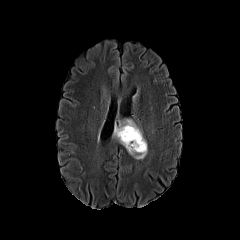
FLAIR magnetic resonance.
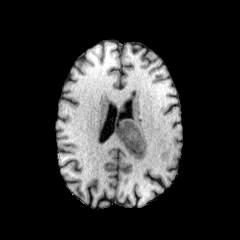
T1-weighted MR of the same slice.
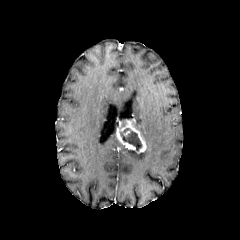
Post-contrast T1-weighted magnetic resonance of the same slice.
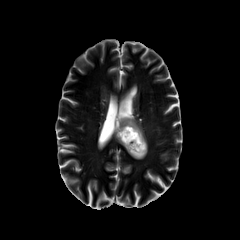
Same slice, T2-weighted MR image.
Head, Image size 240x240
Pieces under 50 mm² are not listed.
peritumoral edema at (126, 144, 147, 159)
necrotic tumor core at (121, 128, 141, 151)
enhancing tumor at (116, 120, 146, 153)